FLAIR MR.
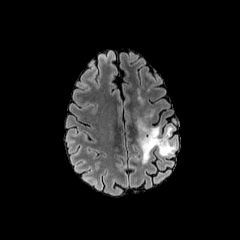
T1-weighted MR image.
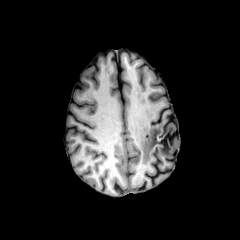
Post-contrast T1-weighted MR image.
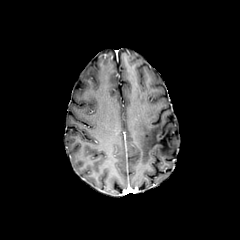
T2-weighted MR image.
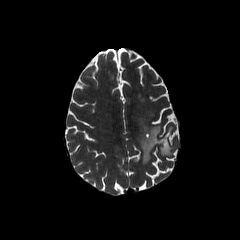
240x240 | Head
peritumoral edema: l=138, t=123, r=175, b=163